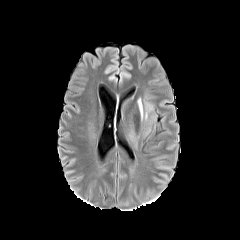
FLAIR MR.
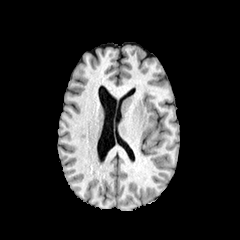
Same slice, T1-weighted MR image.
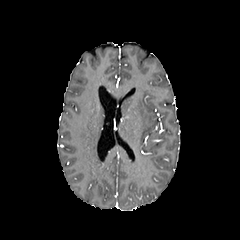
Post-contrast T1-weighted MR image of the same slice.
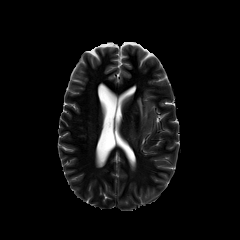
T2-weighted MRI.
Axial plane | Head
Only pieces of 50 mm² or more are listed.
{"peritumoral_edema": ["(x1=130, y1=130, x2=137, y2=147)", "(x1=143, y1=96, x2=156, y2=136)", "(x1=138, y1=99, x2=143, y2=121)"]}